Image width 240 mm | Head | Axial view
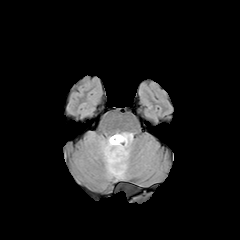
FLAIR MRI.
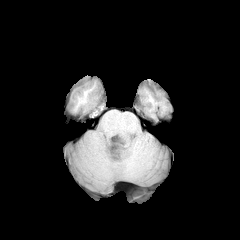
T1-weighted magnetic resonance of the same slice.
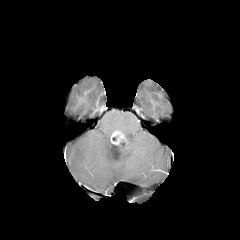
Post-contrast T1-weighted MRI of the same slice.
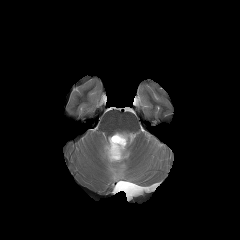
T2-weighted magnetic resonance.
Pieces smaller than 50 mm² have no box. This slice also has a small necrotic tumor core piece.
<segmentation>
  <enhancing_tumor>l=110, t=131, r=125, b=145</enhancing_tumor>
  <peritumoral_edema>l=100, t=132, r=133, b=179</peritumoral_edema>
</segmentation>